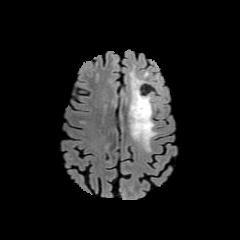
FLAIR magnetic resonance.
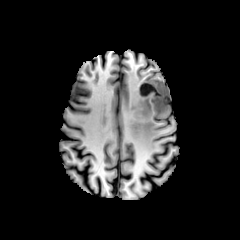
T1-weighted MRI of the same slice.
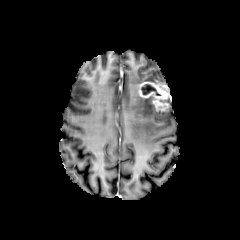
Same slice, post-contrast T1-weighted MR image.
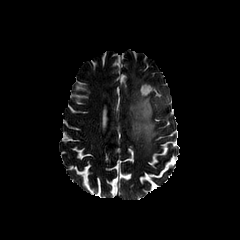
T2-weighted MR image of the same slice.
Axial slice. Brain.
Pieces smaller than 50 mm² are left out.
peritumoral_edema:
  - 129:70:158:151
enhancing_tumor:
  - 137:80:170:111
necrotic_tumor_core:
  - 142:85:154:94